FLAIR MR image.
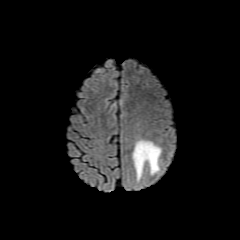
T1-weighted magnetic resonance.
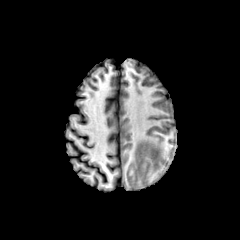
Post-contrast T1-weighted MRI.
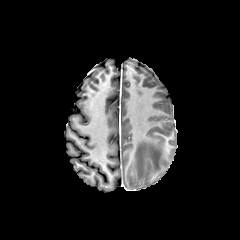
T2-weighted MR image.
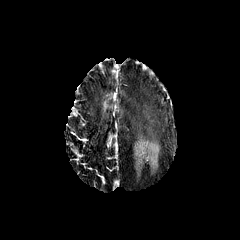
Head; Axial view; Image size 240x240
peritumoral edema — left=132, top=139, right=161, bottom=181